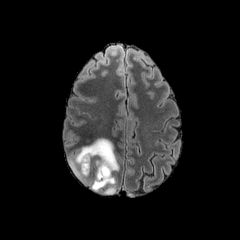
FLAIR MRI.
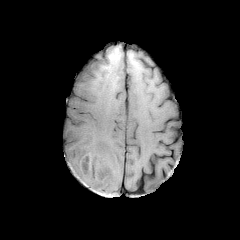
T1-weighted MRI.
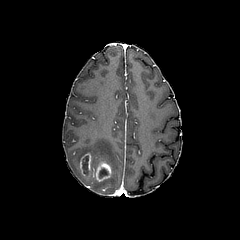
Post-contrast T1-weighted MR image.
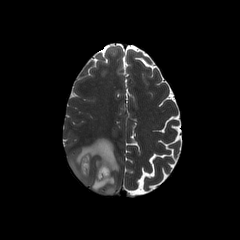
T2-weighted magnetic resonance of the same slice.
Axial view, 240x240 px
enhancing tumor: bounding box <box>79,153,91,175</box>, <box>93,160,111,182</box>
peritumoral edema: bounding box <box>68,138,119,194</box>
necrotic tumor core: bounding box <box>82,156,88,172</box>, <box>99,168,108,178</box>